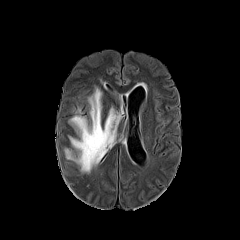
FLAIR magnetic resonance.
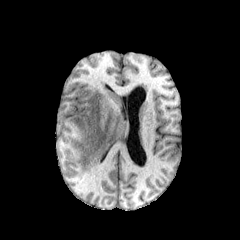
T1-weighted MR.
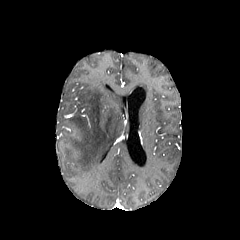
Post-contrast T1-weighted MR image.
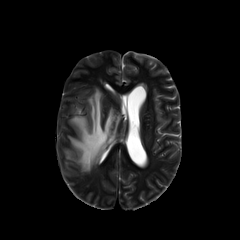
T2-weighted MR image.
Brain, Axial view
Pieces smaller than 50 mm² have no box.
peritumoral edema = <box>65,88,121,172</box>